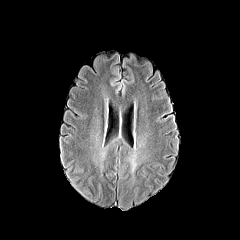
FLAIR MRI.
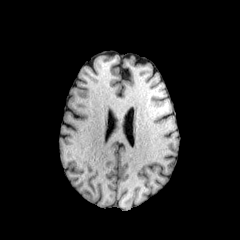
T1-weighted MR.
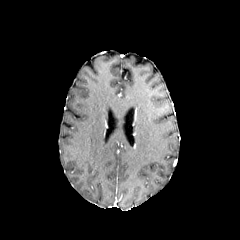
Post-contrast T1-weighted MR image of the same slice.
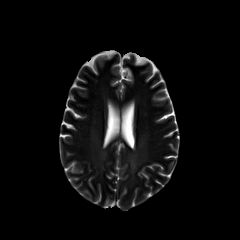
T2-weighted MRI.
peritumoral edema: region(129, 153, 137, 172)